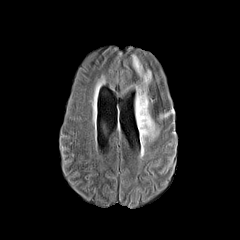
FLAIR magnetic resonance.
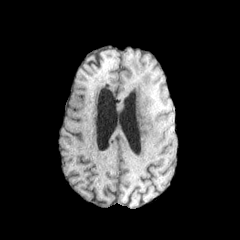
T1-weighted MRI of the same slice.
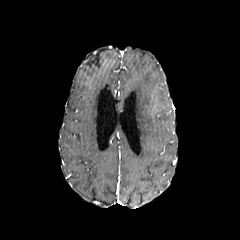
Post-contrast T1-weighted magnetic resonance.
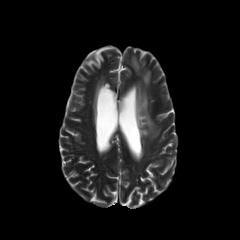
Same slice, T2-weighted magnetic resonance.
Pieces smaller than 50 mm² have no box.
peritumoral edema: [132, 55, 157, 155]